FLAIR magnetic resonance.
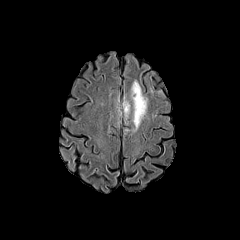
T1-weighted MR.
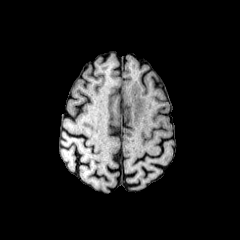
Post-contrast T1-weighted magnetic resonance.
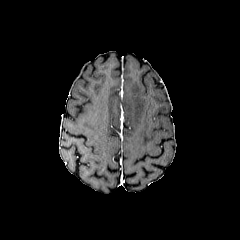
T2-weighted MRI.
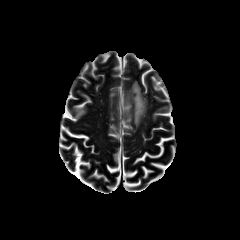
Head; 240x240
peritumoral edema — box=[131, 81, 147, 131]; box=[123, 97, 130, 118]